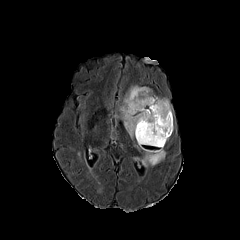
FLAIR MRI.
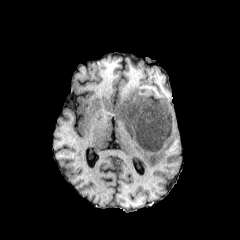
Same slice, T1-weighted MRI.
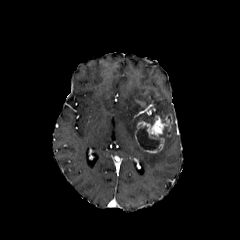
Post-contrast T1-weighted MR image of the same slice.
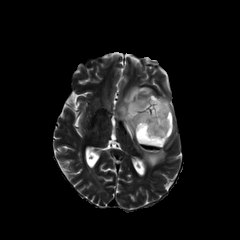
Same slice, T2-weighted MR.
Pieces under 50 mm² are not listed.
enhancing_tumor:
  - box=[135, 114, 172, 152]
  - box=[146, 105, 155, 115]
necrotic_tumor_core:
  - box=[136, 127, 159, 149]
peritumoral_edema:
  - box=[160, 124, 173, 143]
  - box=[119, 85, 172, 138]
  - box=[141, 149, 165, 166]